FLAIR MR image.
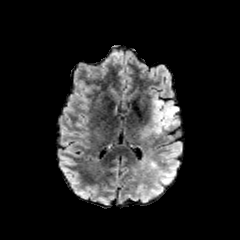
T1-weighted MR image.
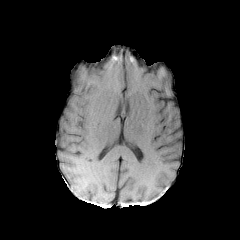
Post-contrast T1-weighted magnetic resonance.
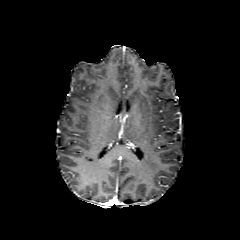
T2-weighted MR.
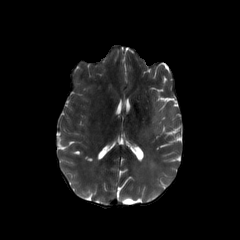
Head | 240x240 px
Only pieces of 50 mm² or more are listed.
Segmented structures:
- peritumoral edema: rect(144, 101, 178, 139)